FLAIR MRI.
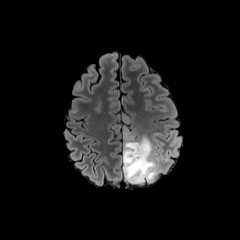
T1-weighted magnetic resonance.
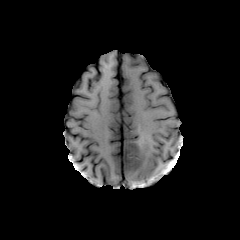
Post-contrast T1-weighted MR.
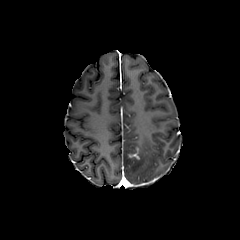
T2-weighted MRI.
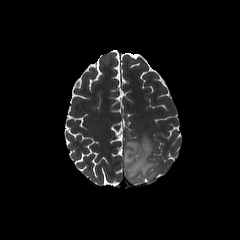
Axial plane
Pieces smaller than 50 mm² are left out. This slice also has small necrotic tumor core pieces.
Annotated regions:
- enhancing tumor: (128, 147, 139, 159)
- peritumoral edema: (122, 134, 163, 184)